FLAIR MRI.
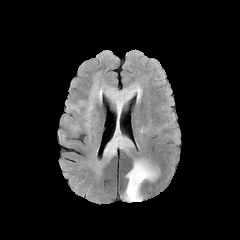
T1-weighted MRI.
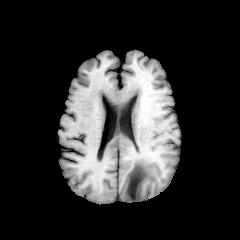
Post-contrast T1-weighted MRI.
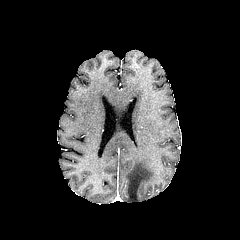
T2-weighted MRI.
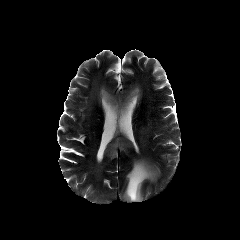
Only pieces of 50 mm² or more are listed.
<segmentation>
  <peritumoral_edema>box=[123, 159, 158, 202]; box=[103, 84, 141, 161]</peritumoral_edema>
</segmentation>